FLAIR MR image.
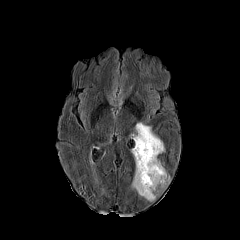
T1-weighted magnetic resonance.
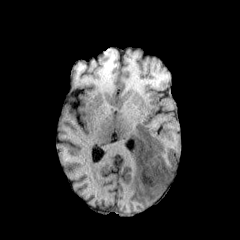
Post-contrast T1-weighted MR image.
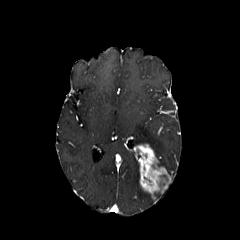
T2-weighted MRI.
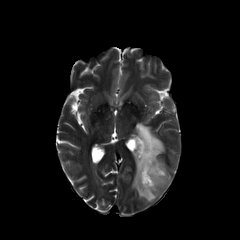
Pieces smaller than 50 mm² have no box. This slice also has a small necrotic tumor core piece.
The enhancing tumor is at box(133, 144, 171, 199). The 2 largest peritumoral edema regions are located at box(132, 123, 164, 156); box(132, 158, 154, 201).